Axial slice | Brain | 240x240
FLAIR MR image.
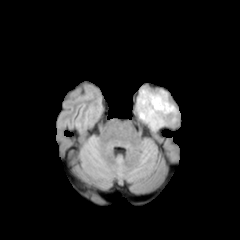
T1-weighted magnetic resonance.
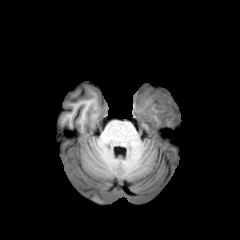
Post-contrast T1-weighted magnetic resonance.
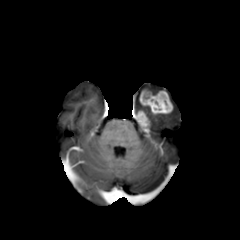
T2-weighted MRI.
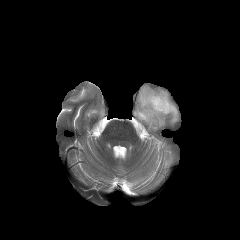
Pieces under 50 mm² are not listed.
Findings:
• peritumoral edema: region(137, 87, 178, 129)
• enhancing tumor: region(136, 111, 149, 125); region(139, 89, 173, 114)